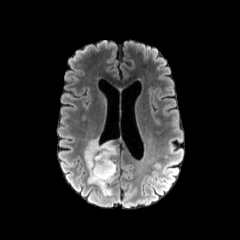
FLAIR magnetic resonance.
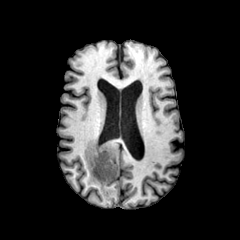
T1-weighted MR image.
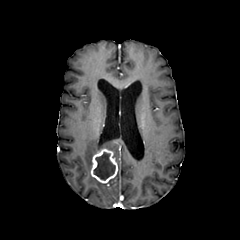
Post-contrast T1-weighted magnetic resonance.
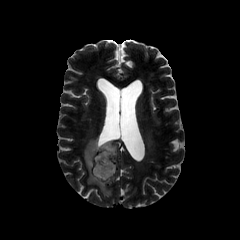
T2-weighted MR.
Brain; Axial slice
The necrotic tumor core is located at rect(93, 152, 115, 180). The enhancing tumor is located at rect(90, 148, 118, 183). The peritumoral edema is at rect(84, 138, 117, 195).